FLAIR MR image.
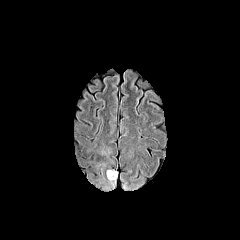
T1-weighted MRI.
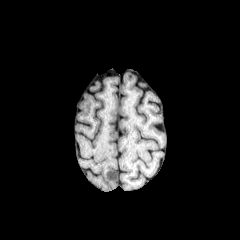
Post-contrast T1-weighted MR.
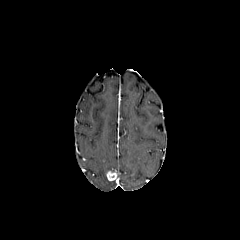
T2-weighted magnetic resonance.
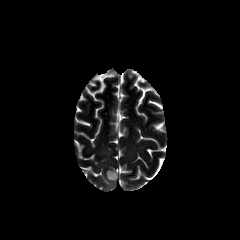
240x240 px.
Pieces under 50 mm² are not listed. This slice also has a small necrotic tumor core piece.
<segmentation>
  <peritumoral_edema><bbox>88, 141, 114, 167</bbox></peritumoral_edema>
  <enhancing_tumor><bbox>106, 171, 117, 180</bbox></enhancing_tumor>
</segmentation>